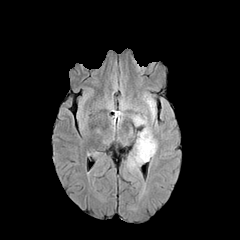
FLAIR MRI.
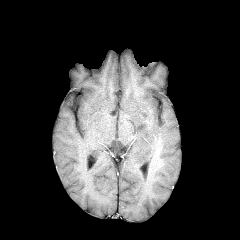
T1-weighted MR.
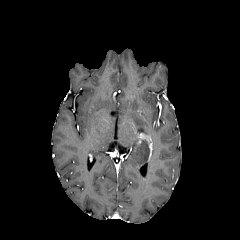
Post-contrast T1-weighted MR.
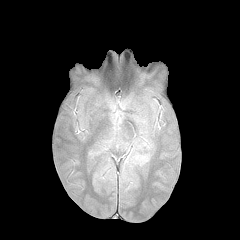
T2-weighted MR of the same slice.
Axial slice. Brain.
2 peritumoral edema regions are located at 147, 99, 155, 118; 130, 115, 156, 166.